Image width 240 mm, 1.00 mm slice spacing, Image size 240x240, Slice 97/155, Brain
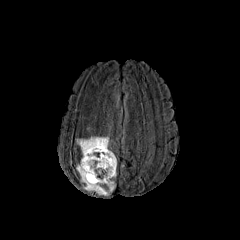
FLAIR MR.
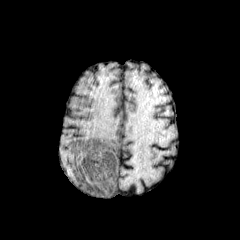
T1-weighted MR image.
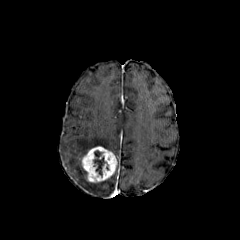
Post-contrast T1-weighted magnetic resonance of the same slice.
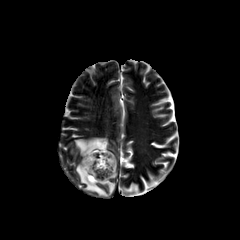
Same slice, T2-weighted magnetic resonance.
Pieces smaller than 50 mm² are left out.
enhancing tumor: 81, 146, 117, 182 | necrotic tumor core: 94, 151, 105, 175 | peritumoral edema: 76, 162, 116, 195; 76, 137, 108, 155